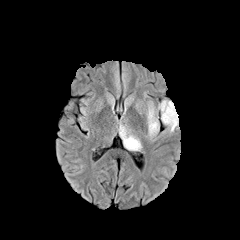
FLAIR MR image.
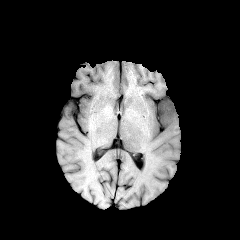
T1-weighted magnetic resonance.
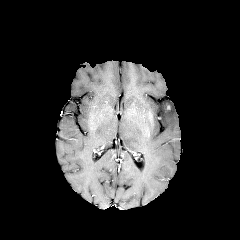
Same slice, post-contrast T1-weighted MR image.
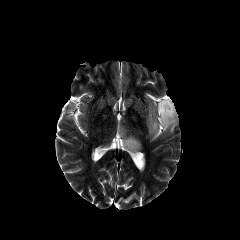
T2-weighted MR of the same slice.
Axial view
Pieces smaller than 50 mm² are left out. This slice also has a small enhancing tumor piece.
peritumoral edema: (119,125,141,151), (147,104,159,137), (157,99,178,133)